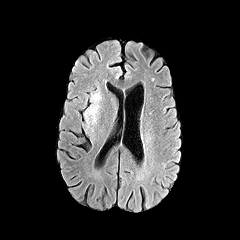
FLAIR MRI.
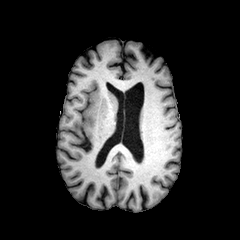
T1-weighted MR.
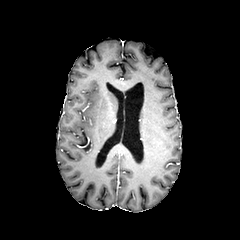
Same slice, post-contrast T1-weighted MR image.
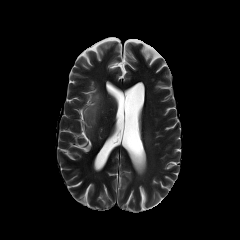
Same slice, T2-weighted MR.
Brain
The peritumoral edema is bounded by box(85, 92, 101, 123).